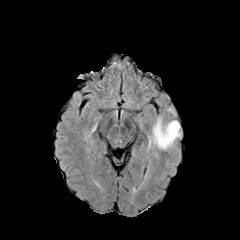
FLAIR MRI.
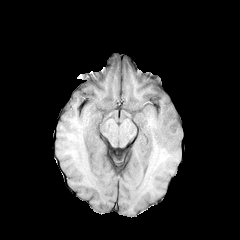
T1-weighted magnetic resonance.
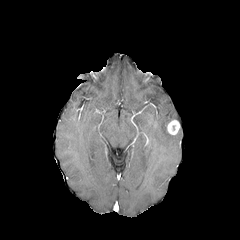
Post-contrast T1-weighted MRI of the same slice.
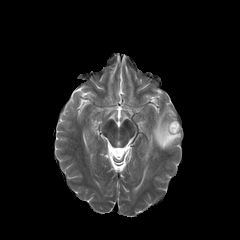
T2-weighted MR image.
Brain
<segmentation>
  <peritumoral_edema>bbox(149, 113, 181, 149); bbox(166, 107, 175, 115)</peritumoral_edema>
  <enhancing_tumor>bbox(167, 120, 180, 135)</enhancing_tumor>
</segmentation>